Head
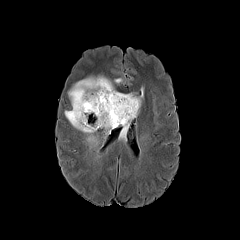
FLAIR magnetic resonance.
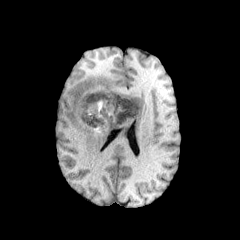
Same slice, T1-weighted MR image.
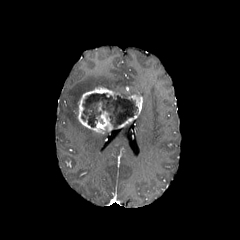
Post-contrast T1-weighted magnetic resonance of the same slice.
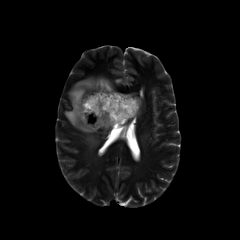
Same slice, T2-weighted MR image.
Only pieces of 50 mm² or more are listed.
The largest necrotic tumor core region is located at [x1=83, y1=93, x2=137, y2=127]. The 2 largest enhancing tumor regions are bounded by [x1=76, y1=87, x2=122, y2=132], [x1=118, y1=94, x2=142, y2=127]. The largest peritumoral edema region lies within [x1=64, y1=76, x2=116, y2=146].